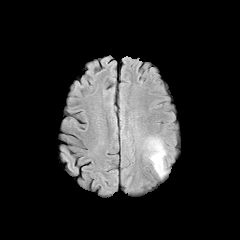
FLAIR MR.
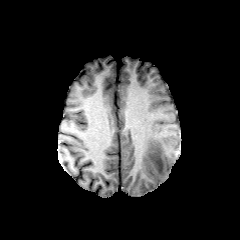
T1-weighted magnetic resonance.
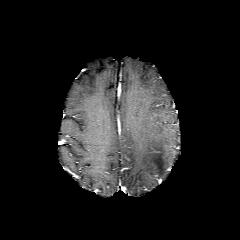
Post-contrast T1-weighted MR of the same slice.
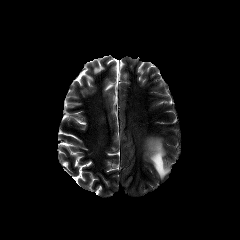
T2-weighted MR image.
240x240 px. Brain.
<segmentation>
  <peritumoral_edema>bbox=[147, 138, 166, 177]</peritumoral_edema>
</segmentation>